FLAIR magnetic resonance.
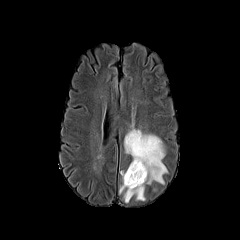
T1-weighted MRI.
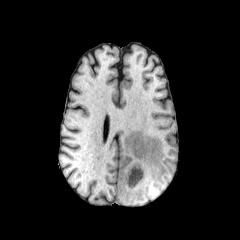
Post-contrast T1-weighted MR.
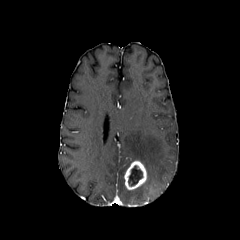
T2-weighted MR.
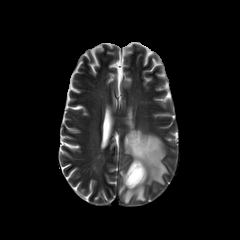
Axial view. Head.
<segmentation>
  <enhancing_tumor>box(124, 160, 147, 190)</enhancing_tumor>
  <peritumoral_edema>box(119, 171, 145, 202); box(124, 125, 168, 184)</peritumoral_edema>
  <necrotic_tumor_core>box(128, 166, 142, 185)</necrotic_tumor_core>
</segmentation>